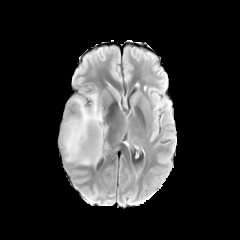
FLAIR MR image.
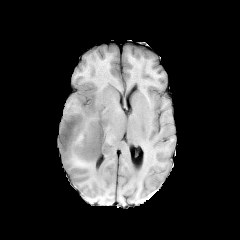
T1-weighted MR of the same slice.
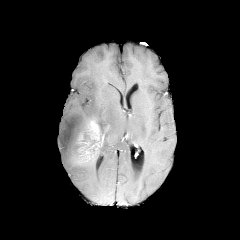
Post-contrast T1-weighted magnetic resonance.
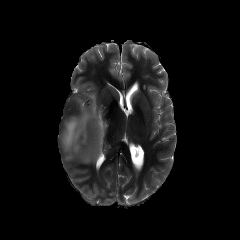
T2-weighted MRI.
Brain. Axial plane.
<segmentation>
  <enhancing_tumor><box>77,119,104,161</box></enhancing_tumor>
  <peritumoral_edema><box>61,93,107,164</box></peritumoral_edema>
</segmentation>